FLAIR MR.
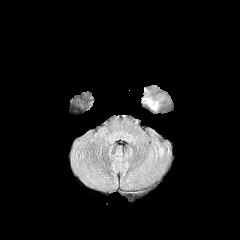
T1-weighted MR image.
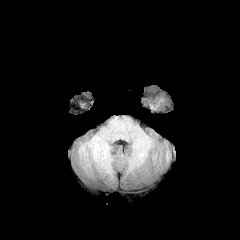
Post-contrast T1-weighted magnetic resonance.
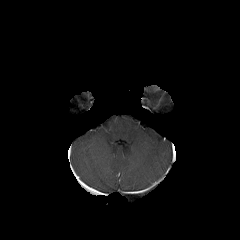
T2-weighted MR image.
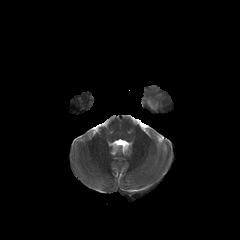
Axial view | Head
The peritumoral edema is at box=[146, 99, 157, 109].